Axial view
FLAIR MRI.
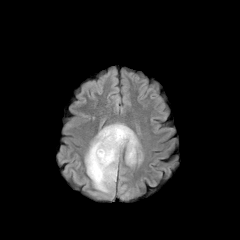
T1-weighted magnetic resonance.
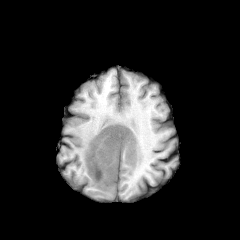
Post-contrast T1-weighted MR.
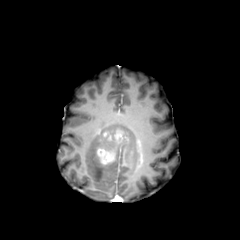
T2-weighted magnetic resonance.
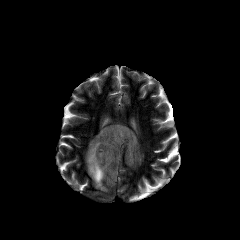
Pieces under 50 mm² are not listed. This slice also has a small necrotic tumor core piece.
The peritumoral edema is at [x1=85, y1=123, x2=142, y2=192]. The 2 largest enhancing tumor regions are located at [x1=114, y1=130, x2=123, y2=142], [x1=97, y1=148, x2=114, y2=164].